Slice 52/155 | Image width 240 mm, 1.00 mm slice spacing
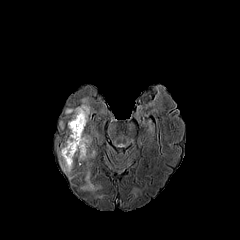
FLAIR MR.
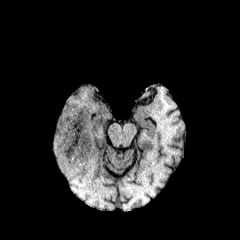
T1-weighted MR image.
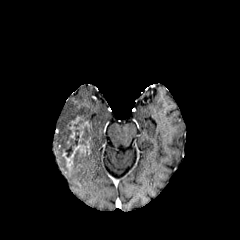
Post-contrast T1-weighted MRI.
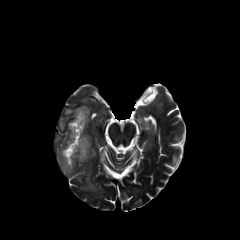
T2-weighted MR image of the same slice.
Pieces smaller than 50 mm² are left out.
enhancing tumor at [62,117,90,169]
peritumoral edema at [82,171,100,190], [65,99,90,122], [74,150,94,160], [59,129,73,173]
necrotic tumor core at [65,129,79,157]